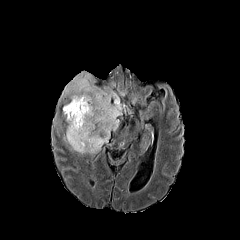
FLAIR magnetic resonance.
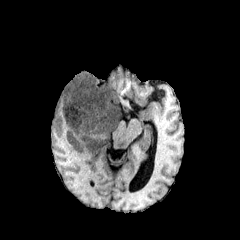
T1-weighted MRI.
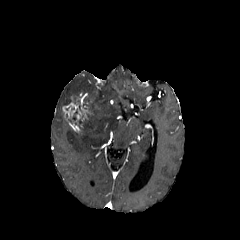
Post-contrast T1-weighted MR image.
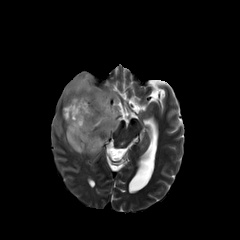
Same slice, T2-weighted MR.
Brain, Axial view, Image size 240x240
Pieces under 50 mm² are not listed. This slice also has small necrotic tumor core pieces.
The largest peritumoral edema region is bounded by 61 72 121 153. The enhancing tumor is bounded by 62 93 98 134.